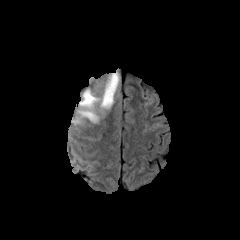
FLAIR MR image.
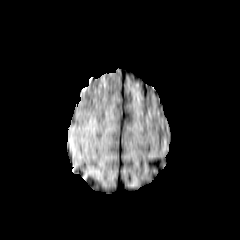
T1-weighted MR image.
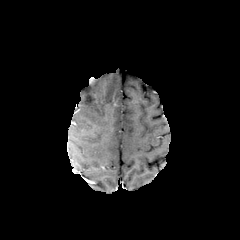
Post-contrast T1-weighted magnetic resonance of the same slice.
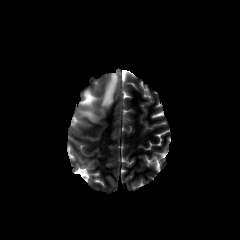
T2-weighted MRI of the same slice.
Head
The peritumoral edema is located at <box>79,72,119,120</box>.